Slice index 98 | Axial plane
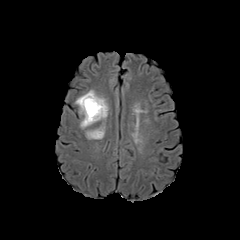
FLAIR MRI.
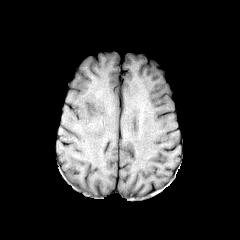
T1-weighted magnetic resonance.
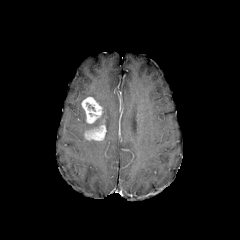
Post-contrast T1-weighted magnetic resonance.
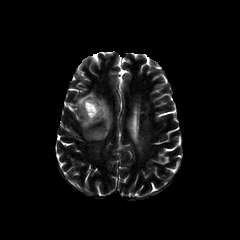
Same slice, T2-weighted MR image.
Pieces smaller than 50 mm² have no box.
enhancing tumor at [81, 97, 103, 123], [85, 125, 105, 140]
necrotic tumor core at [86, 102, 96, 111]
peritumoral edema at [75, 90, 108, 129]